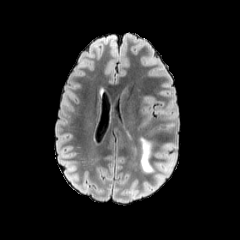
FLAIR magnetic resonance.
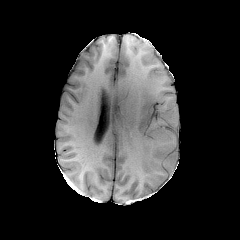
T1-weighted MRI of the same slice.
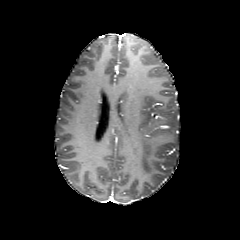
Same slice, post-contrast T1-weighted magnetic resonance.
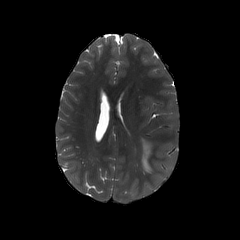
T2-weighted MRI.
Image size 240x240 | Brain
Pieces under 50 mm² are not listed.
peritumoral_edema:
  - box=[141, 137, 153, 172]